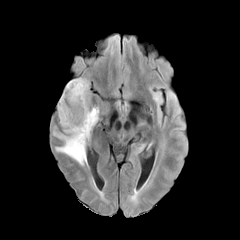
FLAIR MRI.
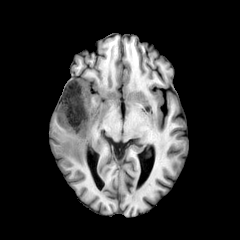
T1-weighted magnetic resonance.
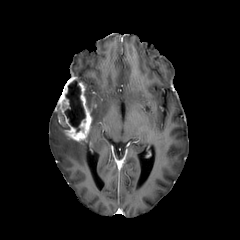
Same slice, post-contrast T1-weighted MRI.
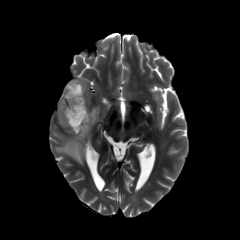
Same slice, T2-weighted MR.
Head | Axial plane
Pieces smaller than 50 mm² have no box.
<segmentation>
  <enhancing_tumor>[x1=57, y1=77, x2=91, y2=141]</enhancing_tumor>
  <necrotic_tumor_core>[x1=64, y1=80, x2=85, y2=132]</necrotic_tumor_core>
  <peritumoral_edema>[x1=53, y1=132, x2=86, y2=165], [x1=86, y1=107, x2=99, y2=138]</peritumoral_edema>
</segmentation>